Brain. Image covers 240 mm x 240 mm.
FLAIR MR image.
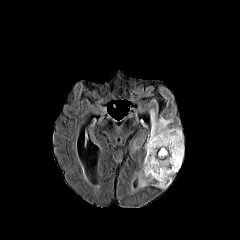
T1-weighted MR image.
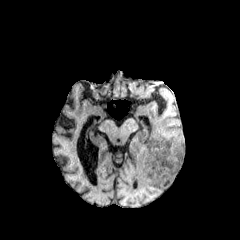
Post-contrast T1-weighted magnetic resonance.
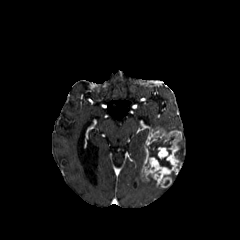
T2-weighted magnetic resonance.
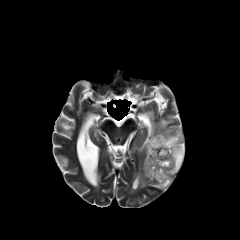
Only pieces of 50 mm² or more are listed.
enhancing tumor: 141,127,182,187 | peritumoral edema: 150,110,181,132; 138,171,153,187; 175,133,184,161 | necrotic tumor core: 147,136,174,168